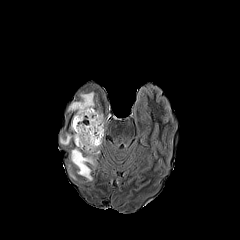
FLAIR MRI.
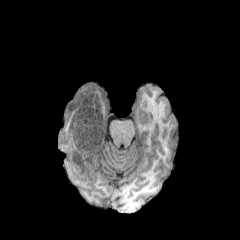
T1-weighted MRI.
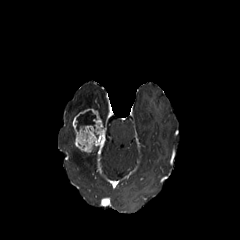
Post-contrast T1-weighted MR image of the same slice.
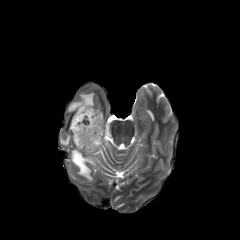
T2-weighted MRI.
Axial plane; Brain
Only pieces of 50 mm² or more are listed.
{"peritumoral_edema": ["71, 146, 99, 180", "60, 132, 74, 145", "68, 92, 94, 115"], "necrotic_tumor_core": ["76, 110, 95, 130"], "enhancing_tumor": ["72, 108, 104, 153"]}